FLAIR MR.
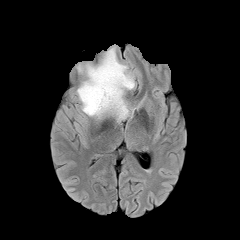
T1-weighted MR image.
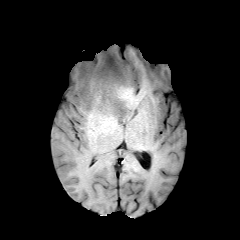
Post-contrast T1-weighted MR.
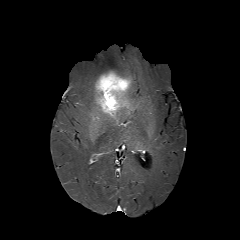
T2-weighted MR.
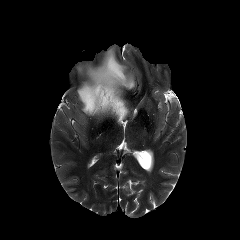
240x240 px. Brain.
2 peritumoral edema regions appear at rect(115, 91, 134, 122); rect(76, 47, 135, 117). The enhancing tumor appears at rect(95, 71, 130, 116).